240x240; Image covers 240 mm x 240 mm; Slice 70/155; Head; Axial plane
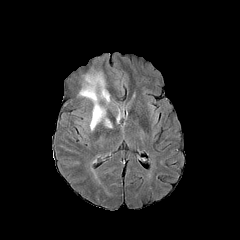
FLAIR MR.
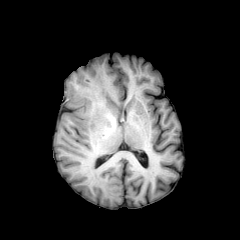
T1-weighted MRI.
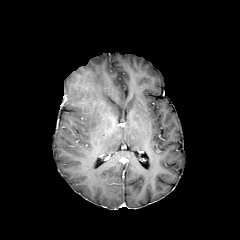
Post-contrast T1-weighted MRI.
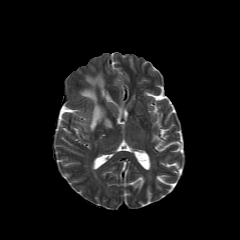
T2-weighted MRI.
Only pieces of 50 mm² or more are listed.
peritumoral edema: [x1=80, y1=88, x2=104, y2=130], [x1=88, y1=75, x2=109, y2=101]